Axial plane | Slice index 101
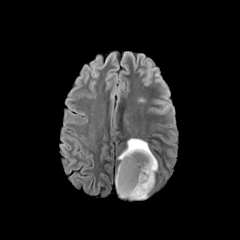
FLAIR MR image.
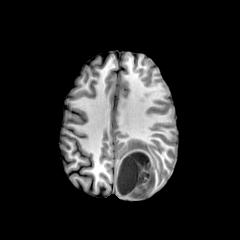
T1-weighted magnetic resonance.
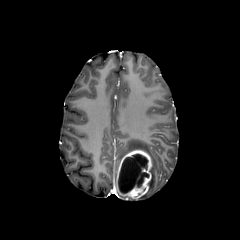
Post-contrast T1-weighted MR.
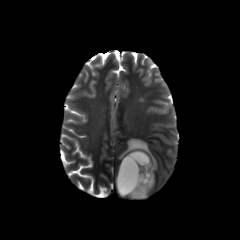
T2-weighted MRI.
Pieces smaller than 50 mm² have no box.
Segmented structures:
* enhancing tumor: {"x1": 116, "y1": 150, "x2": 151, "y2": 198}
* peritumoral edema: {"x1": 118, "y1": 138, "x2": 157, "y2": 192}
* necrotic tumor core: {"x1": 118, "y1": 154, "x2": 149, "y2": 193}